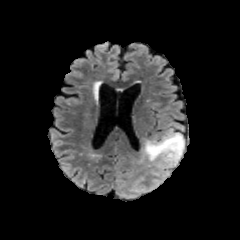
FLAIR magnetic resonance.
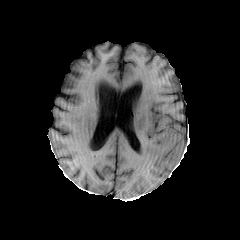
T1-weighted MRI of the same slice.
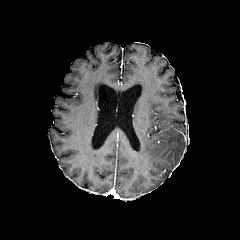
Same slice, post-contrast T1-weighted magnetic resonance.
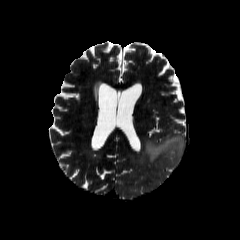
Same slice, T2-weighted MRI.
240x240
The peritumoral edema lies within (143,129,184,170).